Axial plane, Image size 240x240, Brain
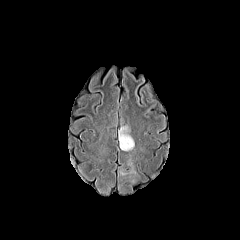
FLAIR MR.
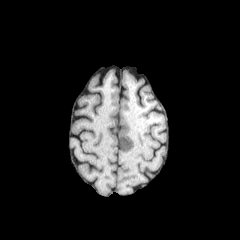
T1-weighted magnetic resonance.
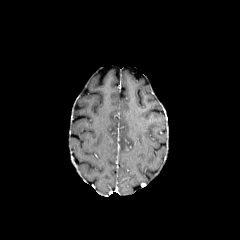
Post-contrast T1-weighted magnetic resonance of the same slice.
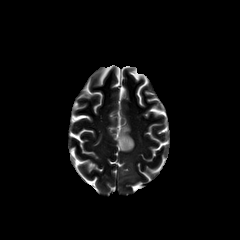
T2-weighted MR image.
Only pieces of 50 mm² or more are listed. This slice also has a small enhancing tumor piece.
The 2 largest peritumoral edema regions appear at (x1=119, y1=162, x2=135, y2=175), (x1=118, y1=126, x2=134, y2=151).